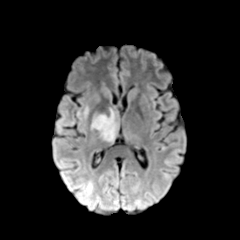
FLAIR MR image.
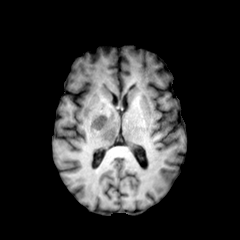
T1-weighted MRI.
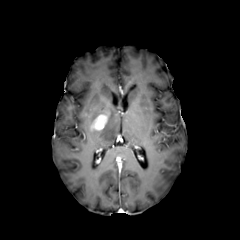
Same slice, post-contrast T1-weighted MR image.
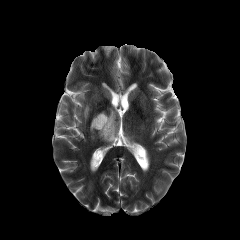
Same slice, T2-weighted magnetic resonance.
Axial plane, Brain
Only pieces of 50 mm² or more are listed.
The largest peritumoral edema region is bounded by (left=99, top=110, right=117, bottom=141). The enhancing tumor is bounded by (left=91, top=114, right=107, bottom=130).